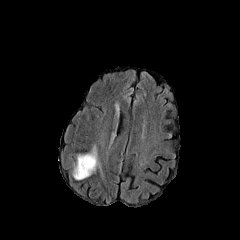
FLAIR MRI.
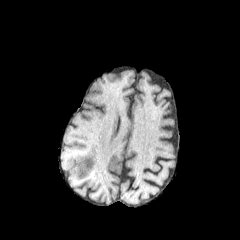
Same slice, T1-weighted magnetic resonance.
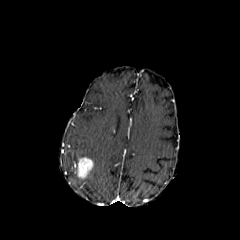
Post-contrast T1-weighted MR.
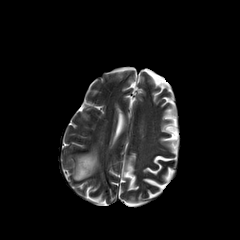
T2-weighted MR image.
Head.
{"enhancing_tumor": ["bbox=[76, 157, 93, 178]"], "peritumoral_edema": ["bbox=[73, 145, 103, 180]"]}